240x240 px.
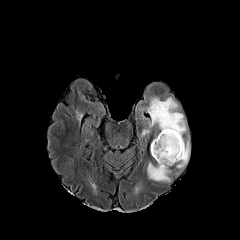
FLAIR magnetic resonance.
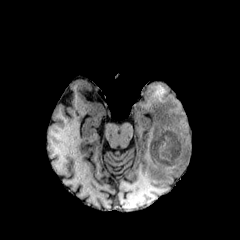
T1-weighted magnetic resonance of the same slice.
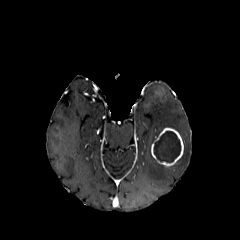
Post-contrast T1-weighted MR image of the same slice.
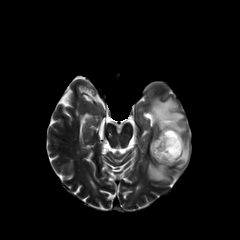
T2-weighted magnetic resonance of the same slice.
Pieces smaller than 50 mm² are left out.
necrotic tumor core: bounding box box=[153, 131, 180, 162]
enhancing tumor: bounding box box=[151, 127, 183, 166]
peritumoral edema: bounding box box=[176, 138, 189, 168]; box=[146, 161, 171, 183]; box=[141, 129, 149, 136]; box=[147, 95, 186, 136]